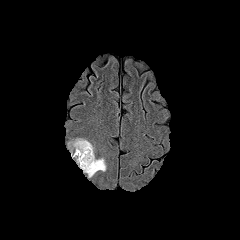
FLAIR magnetic resonance.
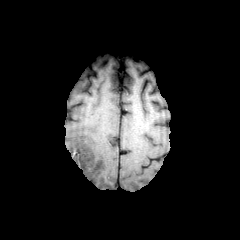
T1-weighted MR.
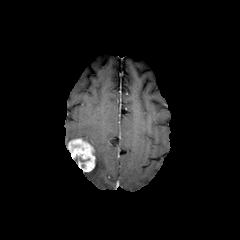
Post-contrast T1-weighted MRI.
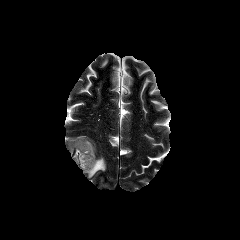
T2-weighted MR image.
Axial slice; Image size 240x240
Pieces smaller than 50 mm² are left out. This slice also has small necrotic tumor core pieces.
enhancing tumor = x1=68 y1=138 x2=95 y2=172
peritumoral edema = x1=87 y1=158 x2=106 y2=177